FLAIR magnetic resonance.
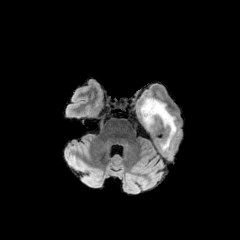
T1-weighted magnetic resonance.
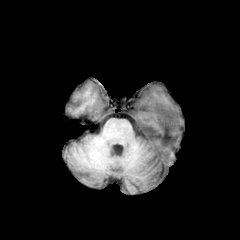
Post-contrast T1-weighted MR image.
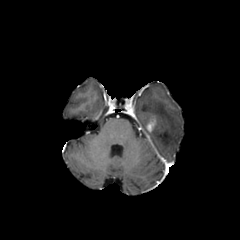
T2-weighted MRI.
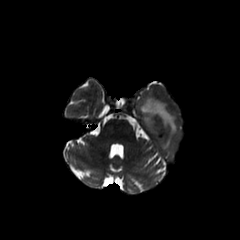
240x240 px. Axial slice.
peritumoral edema: 140, 97, 177, 151
enhancing tumor: 145, 117, 156, 133